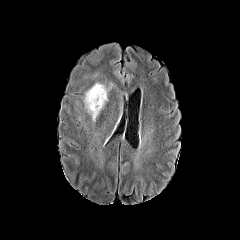
FLAIR MR.
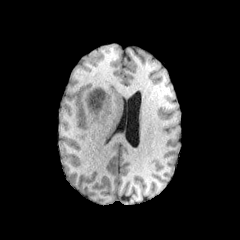
T1-weighted MR of the same slice.
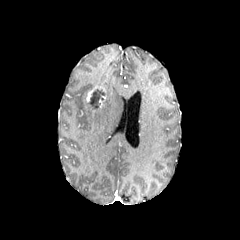
Post-contrast T1-weighted MR image of the same slice.
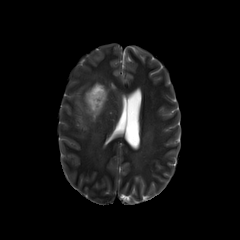
T2-weighted MR of the same slice.
Brain | 240x240 px
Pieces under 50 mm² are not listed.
The necrotic tumor core is located at (left=90, top=89, right=105, bottom=109). The largest peritumoral edema region is bounded by (left=84, top=92, right=102, bottom=121). The 2 largest enhancing tumor regions are located at (left=86, top=85, right=105, bottom=101), (left=99, top=95, right=106, bottom=108).